Axial slice; 240x240
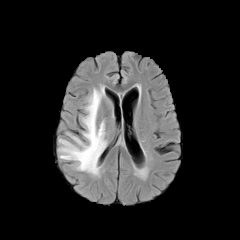
FLAIR magnetic resonance.
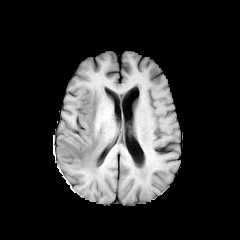
T1-weighted MR.
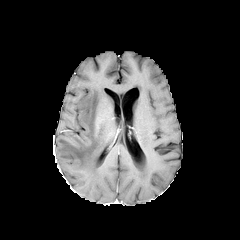
Same slice, post-contrast T1-weighted MR.
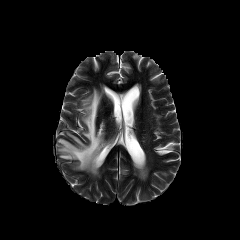
T2-weighted magnetic resonance of the same slice.
{
  "peritumoral_edema": [
    "<box>58,87,107,175</box>"
  ]
}